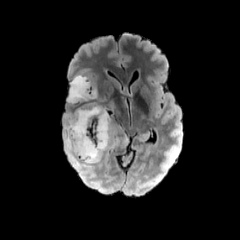
FLAIR magnetic resonance.
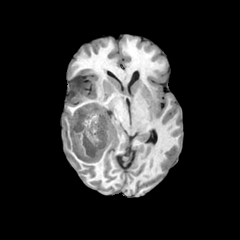
Same slice, T1-weighted magnetic resonance.
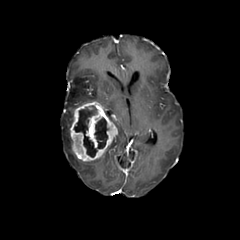
Same slice, post-contrast T1-weighted MR.
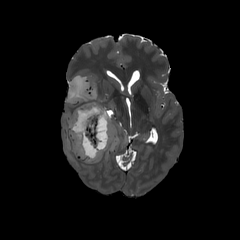
T2-weighted MR image.
Head, Axial view, 240x240
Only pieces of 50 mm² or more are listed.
{"peritumoral_edema": ["left=65, top=116, right=83, bottom=168", "left=68, top=76, right=96, bottom=102"], "enhancing_tumor": ["left=70, top=101, right=117, bottom=161"], "necrotic_tumor_core": ["left=74, top=106, right=108, bottom=157"]}